Slice 58/155, Brain, Axial slice, Image size 240x240
FLAIR MRI.
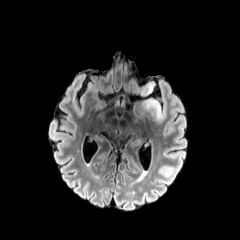
T1-weighted MR.
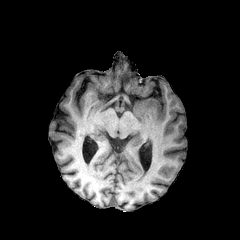
Post-contrast T1-weighted MRI.
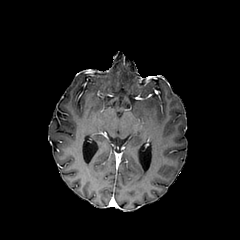
T2-weighted MR.
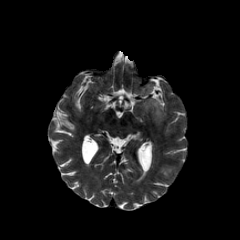
peritumoral edema: bounding box [143,98,163,121], [139,82,154,95]